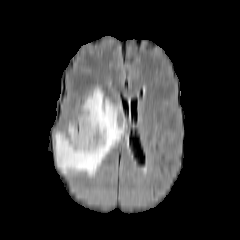
FLAIR MRI.
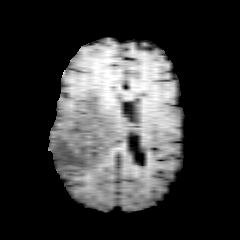
T1-weighted MR image.
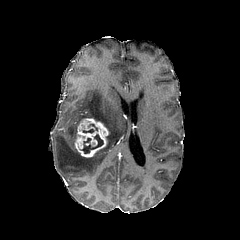
Post-contrast T1-weighted MRI of the same slice.
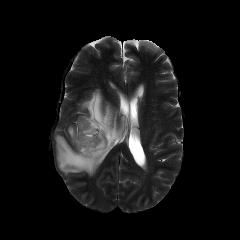
T2-weighted MR of the same slice.
Axial view
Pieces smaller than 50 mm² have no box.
<segmentation>
  <peritumoral_edema>[55, 88, 125, 176]</peritumoral_edema>
  <enhancing_tumor>[74, 118, 109, 157]</enhancing_tumor>
  <necrotic_tumor_core>[81, 134, 103, 153]</necrotic_tumor_core>
</segmentation>